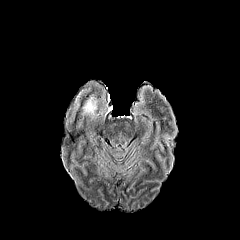
FLAIR MR.
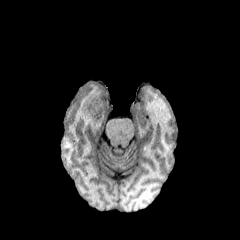
T1-weighted magnetic resonance of the same slice.
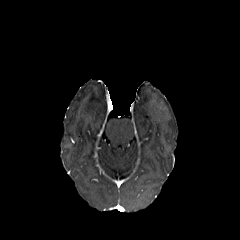
Same slice, post-contrast T1-weighted magnetic resonance.
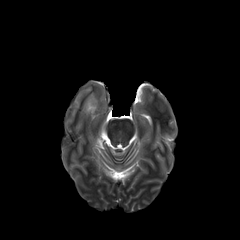
T2-weighted MRI.
Axial plane. Head.
* peritumoral edema: rect(82, 95, 97, 115)